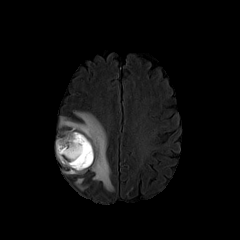
FLAIR MR image.
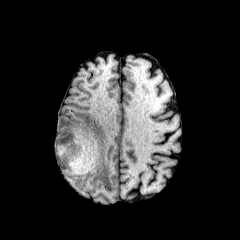
Same slice, T1-weighted MR.
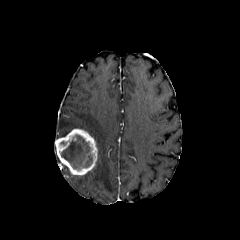
Same slice, post-contrast T1-weighted MRI.
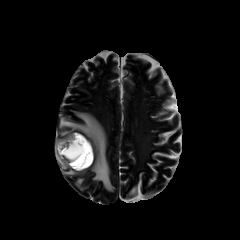
Same slice, T2-weighted MR image.
Head. Axial view.
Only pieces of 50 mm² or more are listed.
enhancing tumor = box=[55, 128, 97, 175]
necrotic tumor core = box=[61, 135, 92, 169]
peritumoral edema = box=[75, 178, 85, 190]; box=[59, 111, 114, 191]